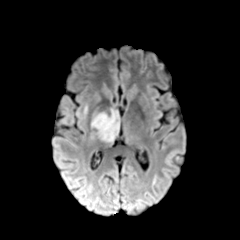
FLAIR magnetic resonance.
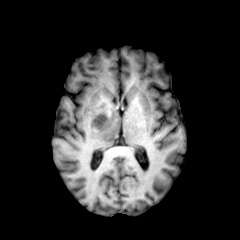
T1-weighted MR image of the same slice.
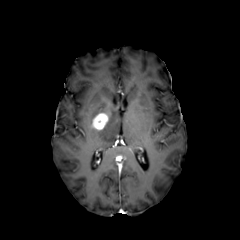
Same slice, post-contrast T1-weighted MRI.
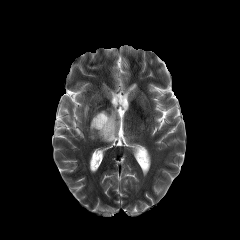
T2-weighted MR of the same slice.
Head
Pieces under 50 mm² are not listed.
<segmentation>
  <peritumoral_edema>{"x1": 97, "y1": 110, "x2": 119, "y2": 142}</peritumoral_edema>
  <enhancing_tumor>{"x1": 91, "y1": 113, "x2": 108, "y2": 130}</enhancing_tumor>
</segmentation>